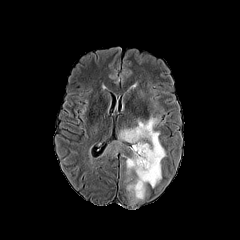
FLAIR MR.
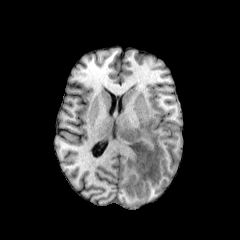
T1-weighted MR of the same slice.
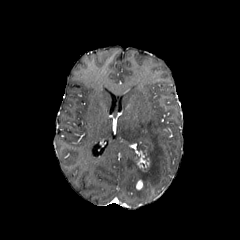
Post-contrast T1-weighted MR image.
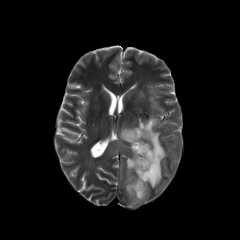
Same slice, T2-weighted MRI.
Axial view
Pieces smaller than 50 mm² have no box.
The largest necrotic tumor core region lies within <box>137,144,145,154</box>. The 2 largest enhancing tumor regions are located at <box>136,180,142,189</box>, <box>130,142,150,172</box>. The largest peritumoral edema region lies within <box>101,113,165,205</box>.